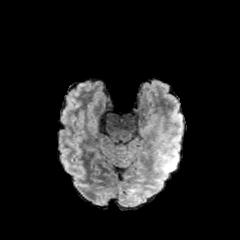
FLAIR MR image.
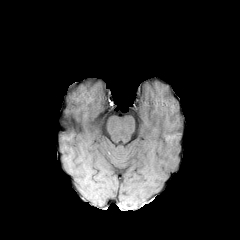
Same slice, T1-weighted magnetic resonance.
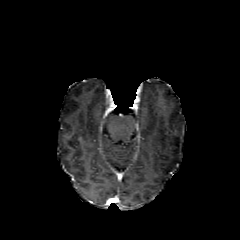
Post-contrast T1-weighted MR.
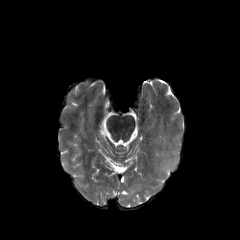
T2-weighted magnetic resonance.
Head; Axial plane
{
  "peritumoral_edema": [
    "158,137,181,170"
  ]
}